240x240; Image covers 240 mm x 240 mm; Axial plane; Brain; Slice 89/155
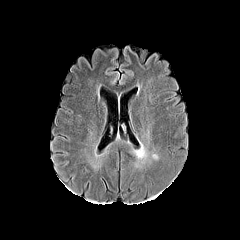
FLAIR MRI.
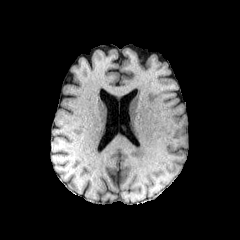
T1-weighted MRI.
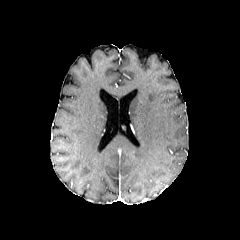
Post-contrast T1-weighted magnetic resonance of the same slice.
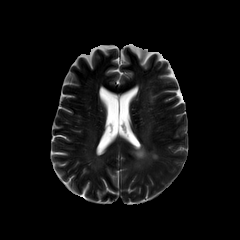
T2-weighted MR image.
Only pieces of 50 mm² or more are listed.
The largest peritumoral edema region is located at 134,145,148,163.